Brain. 240x240.
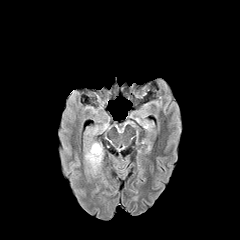
FLAIR MRI.
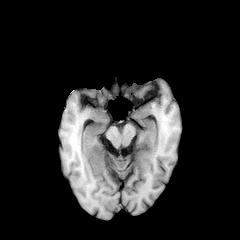
T1-weighted magnetic resonance.
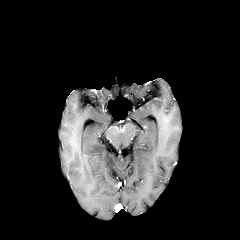
Post-contrast T1-weighted MRI of the same slice.
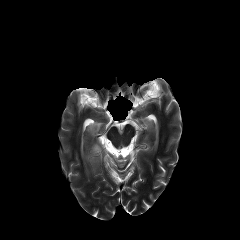
T2-weighted magnetic resonance of the same slice.
peritumoral edema — l=85, t=143, r=103, b=171